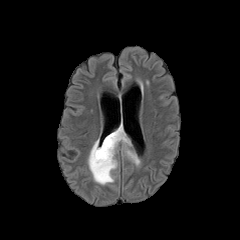
FLAIR MR.
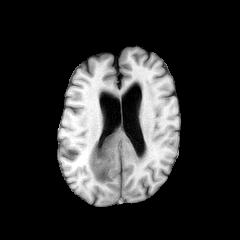
T1-weighted MR image of the same slice.
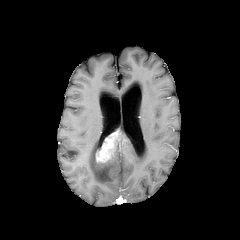
Post-contrast T1-weighted magnetic resonance.
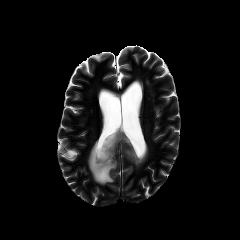
T2-weighted MR image.
Brain | Axial slice
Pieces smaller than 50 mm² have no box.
enhancing tumor: (left=96, top=129, right=121, bottom=163) | peritumoral edema: (left=88, top=122, right=140, bottom=184)